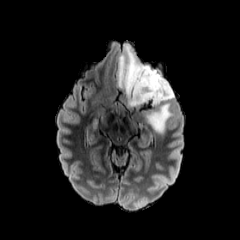
FLAIR MRI.
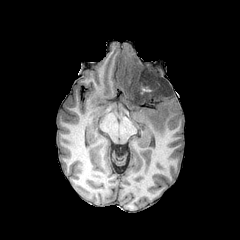
T1-weighted MR image.
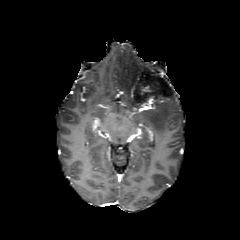
Same slice, post-contrast T1-weighted MR.
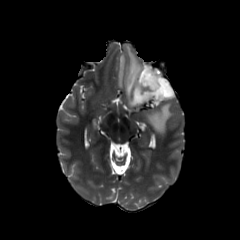
T2-weighted magnetic resonance.
Brain, 240x240, Axial view
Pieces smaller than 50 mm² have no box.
enhancing tumor: {"x1": 143, "y1": 96, "x2": 168, "y2": 105}, {"x1": 141, "y1": 85, "x2": 151, "y2": 94} | peritumoral edema: {"x1": 117, "y1": 44, "x2": 174, "y2": 108}, {"x1": 143, "y1": 100, "x2": 172, "y2": 133}